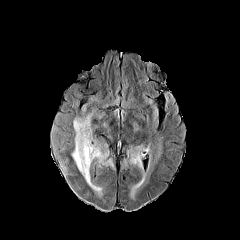
FLAIR MR image.
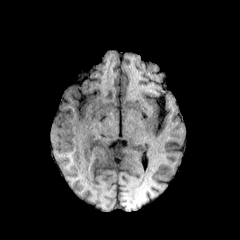
T1-weighted MR image of the same slice.
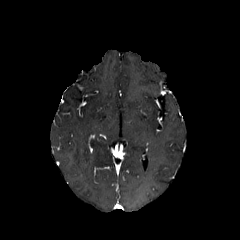
Post-contrast T1-weighted MR of the same slice.
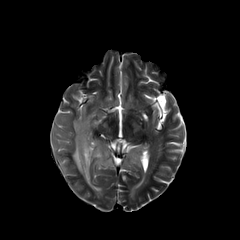
Same slice, T2-weighted magnetic resonance.
Image size 240x240. Axial plane.
<segmentation>
  <peritumoral_edema>x1=129, y1=148, x2=141, y2=166; x1=54, y1=114, x2=112, y2=194; x1=60, y1=158, x2=68, y2=173</peritumoral_edema>
</segmentation>